Head, Axial slice, Image width 240 mm, Slice 109/155
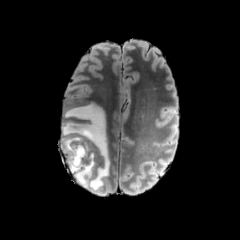
FLAIR MR.
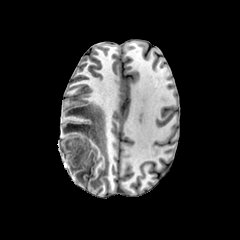
T1-weighted MR image of the same slice.
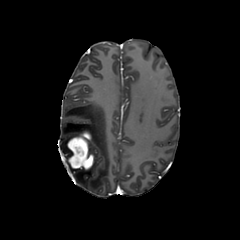
Same slice, post-contrast T1-weighted MR.
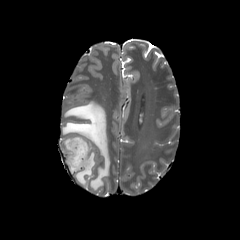
Same slice, T2-weighted MR image.
enhancing tumor: 67,131,93,170 | peritumoral edema: 60,103,110,192